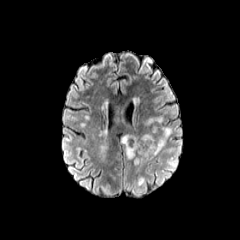
FLAIR MRI.
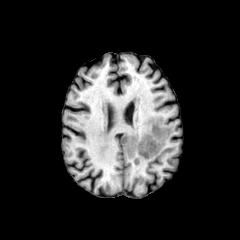
T1-weighted MR of the same slice.
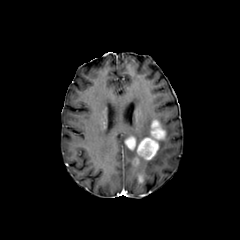
Same slice, post-contrast T1-weighted MR image.
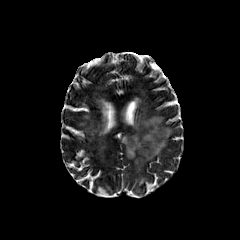
Same slice, T2-weighted MR.
240x240
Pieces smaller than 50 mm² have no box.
Findings:
* enhancing tumor: 137, 120, 166, 159; 125, 136, 136, 150
* peritumoral edema: 155, 127, 172, 155; 121, 135, 140, 158; 145, 117, 163, 125